Axial plane; Image covers 240 mm x 240 mm; 240x240
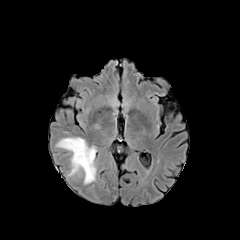
FLAIR magnetic resonance.
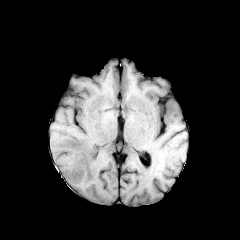
T1-weighted MR image.
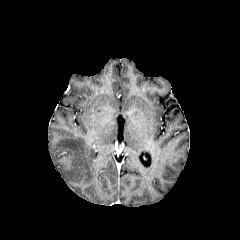
Post-contrast T1-weighted MR of the same slice.
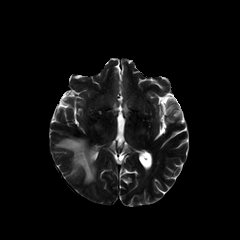
T2-weighted MR image.
peritumoral edema: region(56, 138, 96, 183)